FLAIR MRI.
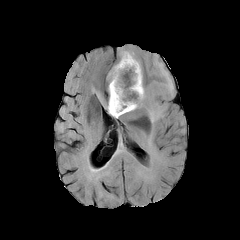
T1-weighted MR.
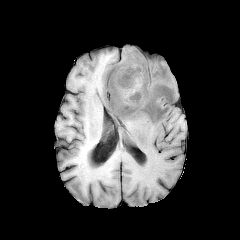
Post-contrast T1-weighted MR.
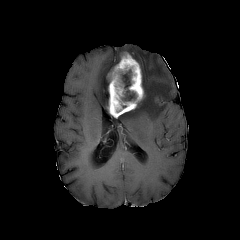
T2-weighted MR image.
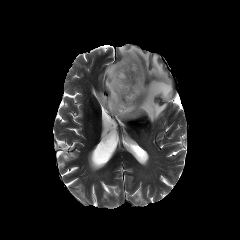
Brain; Image size 240x240
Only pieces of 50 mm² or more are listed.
The 2 largest peritumoral edema regions appear at l=96, t=92, r=108, b=110; l=119, t=46, r=174, b=125. The enhancing tumor is bounded by l=107, t=52, r=144, b=117. The 2 largest necrotic tumor core regions appear at l=122, t=70, r=131, b=81; l=122, t=89, r=135, b=100.